Axial plane | Slice 124 of 155
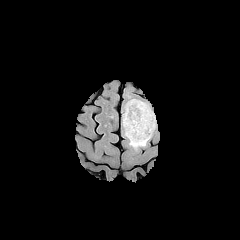
FLAIR MR.
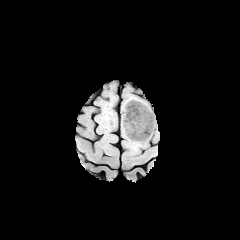
T1-weighted magnetic resonance of the same slice.
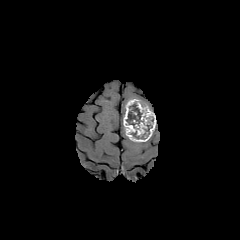
Post-contrast T1-weighted MR.
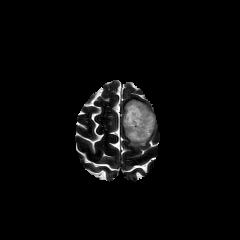
T2-weighted MR image.
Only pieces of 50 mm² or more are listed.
Annotated regions:
• peritumoral edema: (left=129, top=139, right=146, bottom=148)
• enhancing tumor: (left=123, top=99, right=156, bottom=142)
• necrotic tumor core: (left=129, top=104, right=141, bottom=118), (left=128, top=111, right=138, bottom=120)